Axial plane. Image size 240x240.
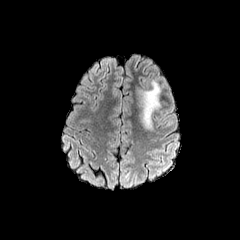
FLAIR MRI.
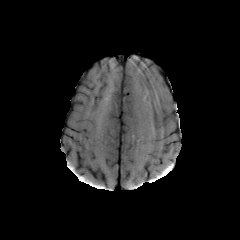
T1-weighted MRI.
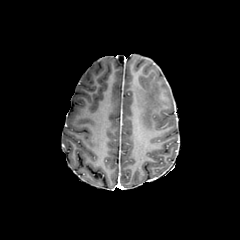
Post-contrast T1-weighted magnetic resonance.
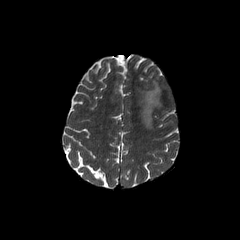
T2-weighted MR.
{
  "peritumoral_edema": [
    "135, 80, 160, 130"
  ]
}